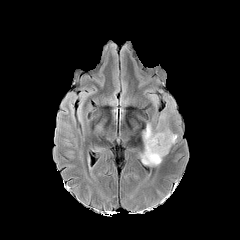
FLAIR MR image.
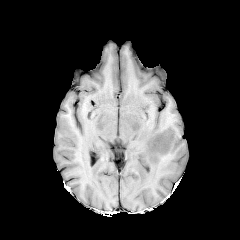
T1-weighted MR image.
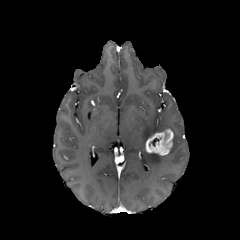
Same slice, post-contrast T1-weighted MR.
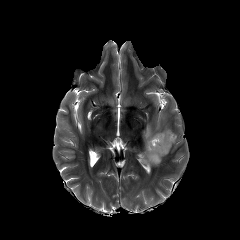
T2-weighted MR.
Axial plane
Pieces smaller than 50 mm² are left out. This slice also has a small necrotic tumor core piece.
enhancing tumor: <box>145,129,173,155</box>
peritumoral edema: <box>143,122,168,143</box>, <box>141,150,163,165</box>